Slice index 44, 240x240 px, Axial slice
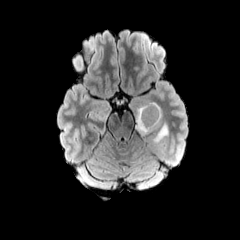
FLAIR MR.
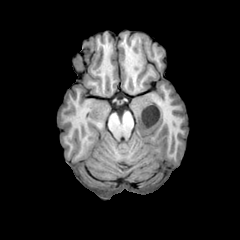
T1-weighted MRI.
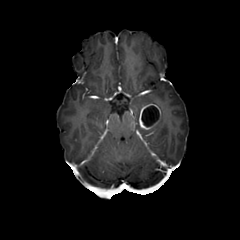
Post-contrast T1-weighted MR image.
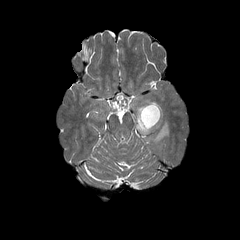
T2-weighted MR image of the same slice.
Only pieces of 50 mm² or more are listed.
The enhancing tumor is located at [138,103,161,130]. The necrotic tumor core is bounded by [141,106,159,126]. The largest peritumoral edema region lies within [135,101,168,144].